Axial slice; Slice 77 of 155; Brain
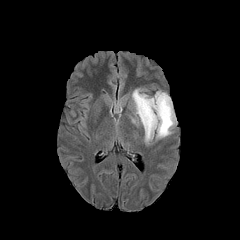
FLAIR magnetic resonance.
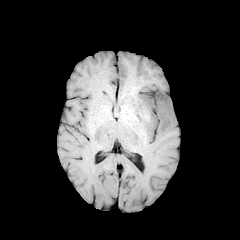
T1-weighted magnetic resonance of the same slice.
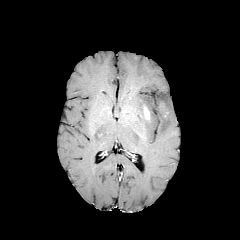
Post-contrast T1-weighted MR.
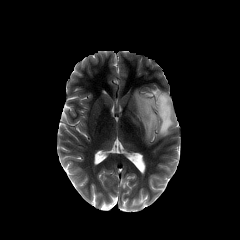
T2-weighted magnetic resonance of the same slice.
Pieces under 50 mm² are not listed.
peritumoral edema at l=132, t=89, r=176, b=142
enhancing tumor at l=144, t=106, r=150, b=119